Axial slice, Slice index 39, Head
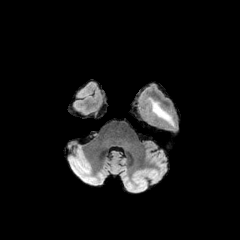
FLAIR MR.
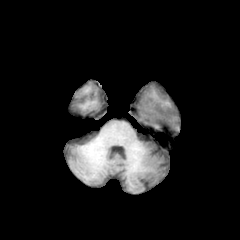
T1-weighted MRI.
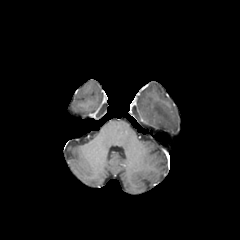
Same slice, post-contrast T1-weighted MR.
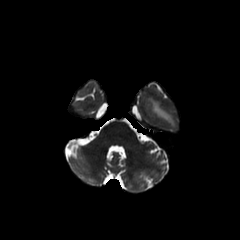
T2-weighted magnetic resonance of the same slice.
peritumoral edema: rect(147, 98, 175, 127)